FLAIR MR image.
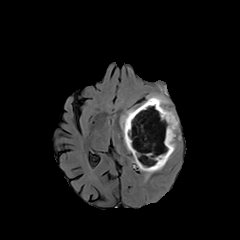
T1-weighted MR image.
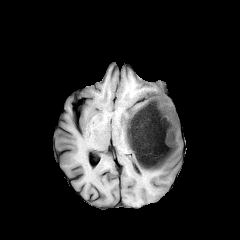
Post-contrast T1-weighted MR image.
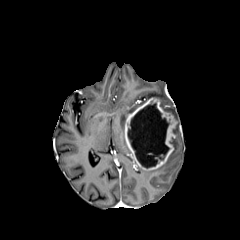
T2-weighted MR.
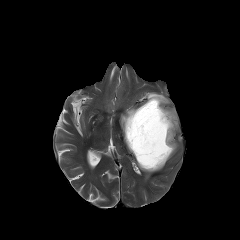
Head; Image size 240x240
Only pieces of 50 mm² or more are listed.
peritumoral edema — 146,93,178,136; 137,162,166,178; 120,107,136,151
necrotic tumor core — 128,102,169,167
enhancing tumor — 124,98,177,170